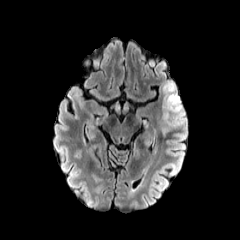
FLAIR MR.
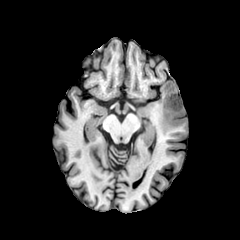
T1-weighted MR image.
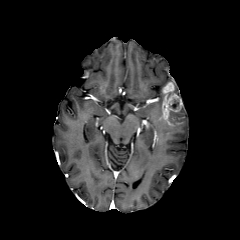
Post-contrast T1-weighted magnetic resonance of the same slice.
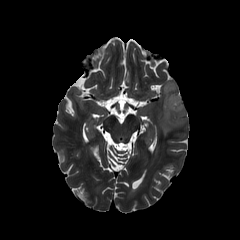
T2-weighted MR of the same slice.
Image size 240x240 | Axial slice | Head
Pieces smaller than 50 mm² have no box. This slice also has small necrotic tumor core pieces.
enhancing tumor — 162, 81, 182, 126
peritumoral edema — 158, 104, 186, 133